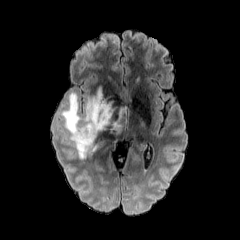
FLAIR magnetic resonance.
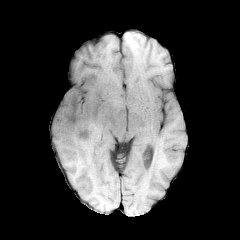
Same slice, T1-weighted MR.
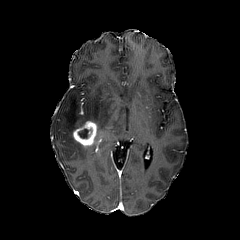
Same slice, post-contrast T1-weighted magnetic resonance.
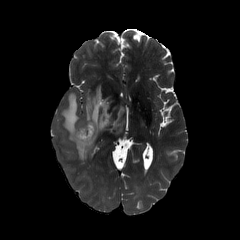
T2-weighted MR.
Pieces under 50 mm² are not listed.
necrotic tumor core: <box>78,126,92,138</box> | peritumoral edema: <box>61,86,129,159</box> | enhancing tumor: <box>73,121,97,146</box>